Head.
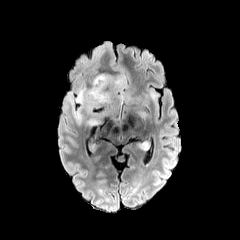
FLAIR MR image.
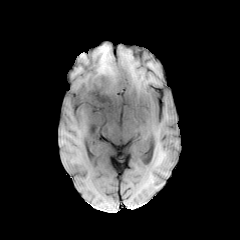
T1-weighted magnetic resonance.
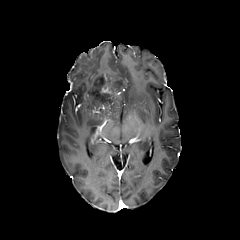
Post-contrast T1-weighted MR image.
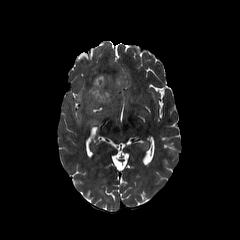
Same slice, T2-weighted magnetic resonance.
<segmentation>
  <peritumoral_edema>67,73,157,124</peritumoral_edema>
</segmentation>